Brain, Axial view, Slice index 49
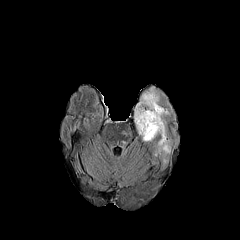
FLAIR MRI.
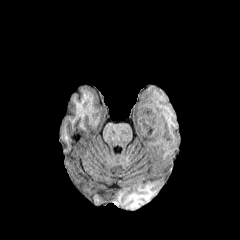
T1-weighted MRI.
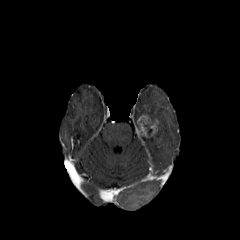
Post-contrast T1-weighted MRI of the same slice.
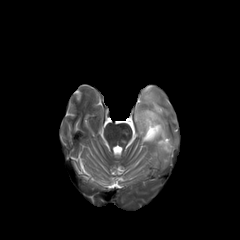
T2-weighted MR of the same slice.
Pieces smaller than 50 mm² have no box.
peritumoral edema: bounding box <box>122,125,132,136</box>, <box>133,85,172,170</box>
necrotic tumor core: bounding box <box>139,120,154,136</box>
enhancing tumor: bounding box <box>137,115,151,137</box>, <box>150,119,158,136</box>